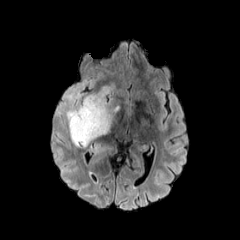
FLAIR MR image.
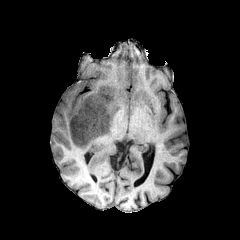
T1-weighted MRI.
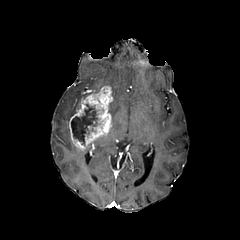
Same slice, post-contrast T1-weighted MR image.
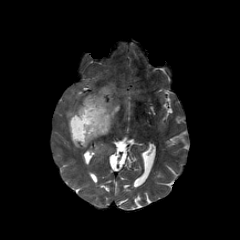
T2-weighted MRI.
Axial slice | 240x240 px | Brain
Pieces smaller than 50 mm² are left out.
enhancing tumor: 69,85,113,149 | peritumoral edema: 54,78,101,135; 109,102,119,122; 89,141,104,151 | necrotic tumor core: 71,104,97,144